FLAIR MR image.
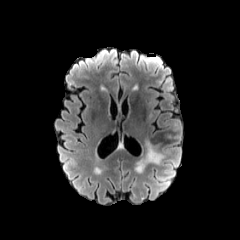
T1-weighted MRI.
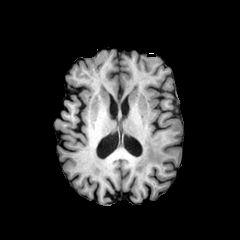
Post-contrast T1-weighted MR.
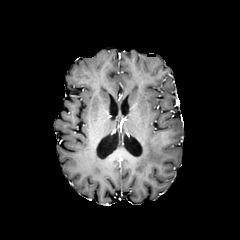
T2-weighted magnetic resonance.
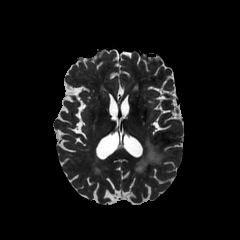
Head; 240x240 px; Axial slice
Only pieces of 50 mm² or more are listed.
The largest peritumoral edema region is at region(135, 141, 163, 173).